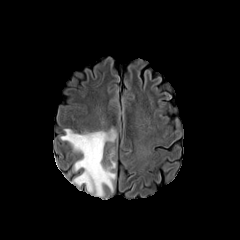
FLAIR MRI.
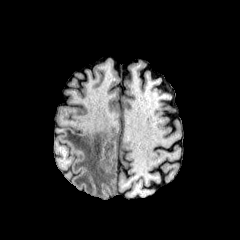
T1-weighted magnetic resonance.
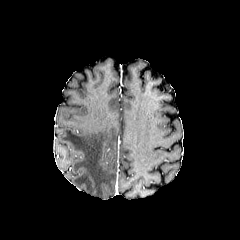
Post-contrast T1-weighted MR.
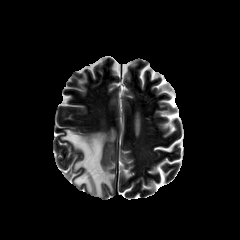
T2-weighted MR.
Axial plane. Brain.
Annotated regions:
* peritumoral edema: [x1=61, y1=129, x2=116, y2=197]